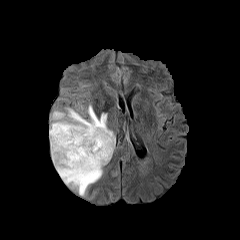
FLAIR MR image.
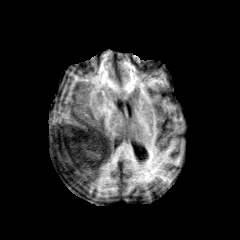
T1-weighted magnetic resonance.
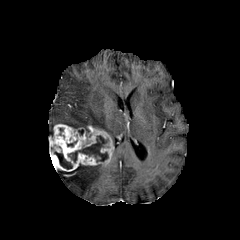
Post-contrast T1-weighted magnetic resonance.
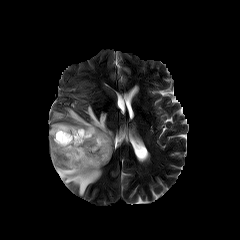
T2-weighted MRI.
Brain. 240x240 px.
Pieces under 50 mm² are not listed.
The largest enhancing tumor region appears at rect(49, 124, 114, 171). The 2 largest necrotic tumor core regions appear at rect(68, 136, 108, 161); rect(54, 152, 72, 169). 2 peritumoral edema regions are located at rect(57, 164, 103, 195); rect(49, 105, 114, 146).